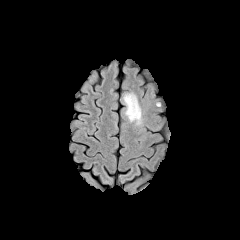
FLAIR MR image.
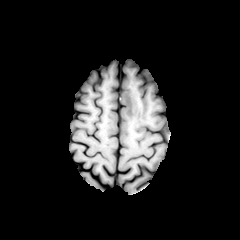
Same slice, T1-weighted MR image.
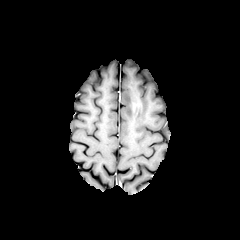
Post-contrast T1-weighted magnetic resonance of the same slice.
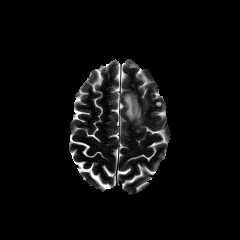
T2-weighted magnetic resonance.
Brain, 240x240
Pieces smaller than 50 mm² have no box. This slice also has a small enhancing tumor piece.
peritumoral edema: x1=123 y1=92 x2=142 y2=125